FLAIR MR image.
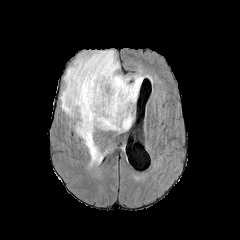
T1-weighted MR.
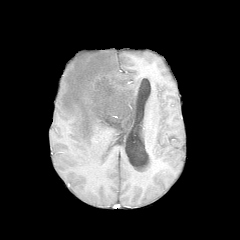
Post-contrast T1-weighted MRI.
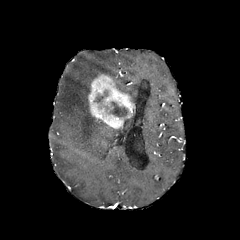
T2-weighted MR.
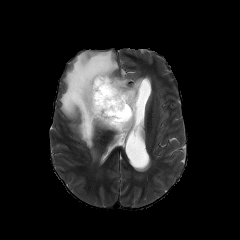
Brain
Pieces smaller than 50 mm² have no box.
necrotic tumor core: bounding box bbox(111, 102, 127, 116)
peritumoral edema: bounding box bbox(60, 50, 150, 164)
enhancing tumor: bounding box bbox(87, 74, 135, 129)